FLAIR MR image.
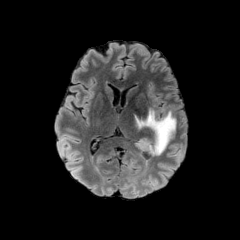
T1-weighted MRI.
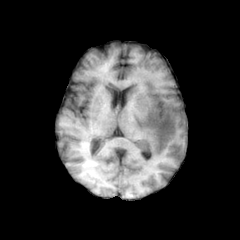
Post-contrast T1-weighted magnetic resonance.
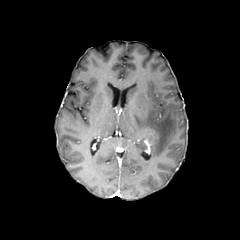
T2-weighted MRI.
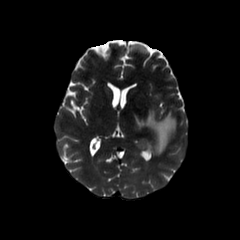
Axial view; 240x240 px
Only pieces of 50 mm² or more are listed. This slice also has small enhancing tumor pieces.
The peritumoral edema appears at region(135, 109, 176, 155).